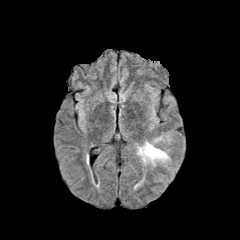
FLAIR magnetic resonance.
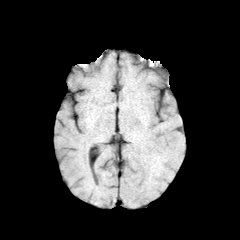
T1-weighted MR image of the same slice.
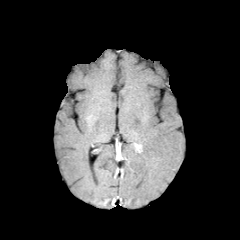
Post-contrast T1-weighted MR image of the same slice.
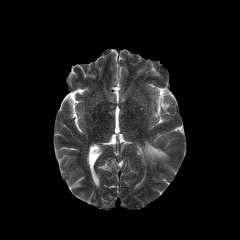
T2-weighted MR image.
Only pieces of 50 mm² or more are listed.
peritumoral edema: bounding box x1=137, y1=141, x2=168, y2=164